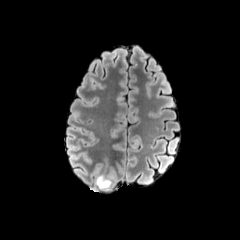
FLAIR MRI.
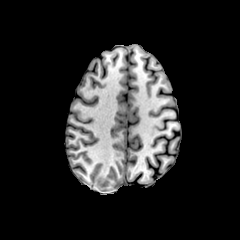
T1-weighted MRI.
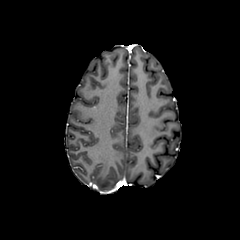
Post-contrast T1-weighted MRI.
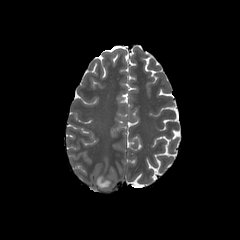
T2-weighted magnetic resonance.
Axial plane.
The peritumoral edema lies within (x1=95, y1=158, x2=112, y2=188).